FLAIR magnetic resonance.
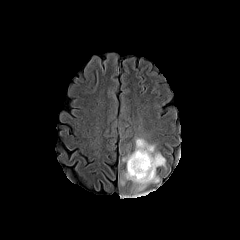
T1-weighted magnetic resonance.
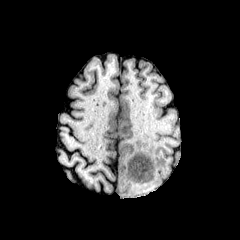
Post-contrast T1-weighted magnetic resonance.
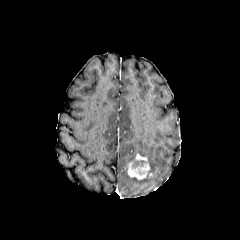
T2-weighted magnetic resonance.
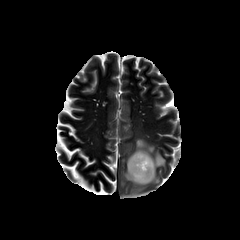
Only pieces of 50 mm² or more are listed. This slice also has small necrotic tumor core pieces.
The enhancing tumor is located at (127, 153, 152, 180). The peritumoral edema appears at (120, 138, 165, 192).